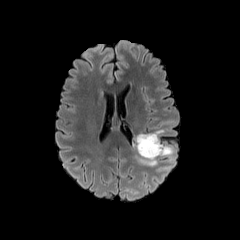
FLAIR MR image.
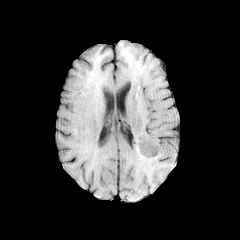
T1-weighted MR image.
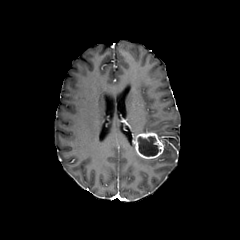
Post-contrast T1-weighted MR image.
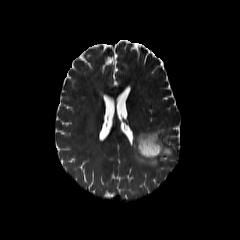
Same slice, T2-weighted MR image.
Axial slice
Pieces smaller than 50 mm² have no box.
enhancing tumor = bbox(134, 132, 164, 159)
peritumoral edema = bbox(133, 136, 157, 166); bbox(159, 142, 173, 162); bbox(154, 128, 164, 138)
necrotic tumor core = bbox(137, 136, 158, 156)